Image width 240 mm. Axial slice. Brain.
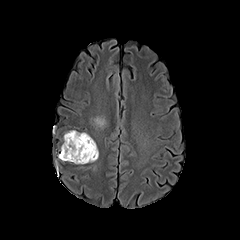
FLAIR MR.
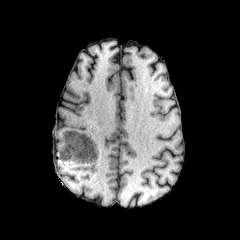
T1-weighted MR.
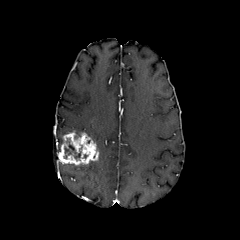
Post-contrast T1-weighted MRI.
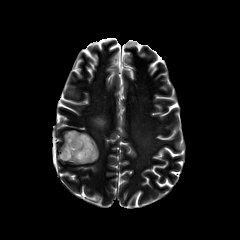
T2-weighted MRI.
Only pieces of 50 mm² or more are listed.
Segmented structures:
• necrotic tumor core: rect(64, 141, 80, 159)
• peritumoral edema: rect(91, 116, 106, 128)
• enhancing tumor: rect(58, 131, 98, 164)